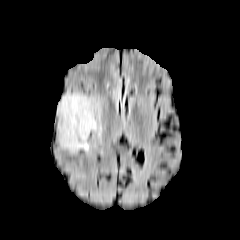
FLAIR MR.
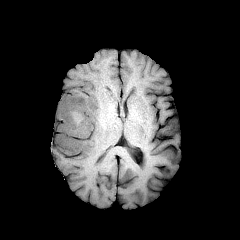
T1-weighted MR image.
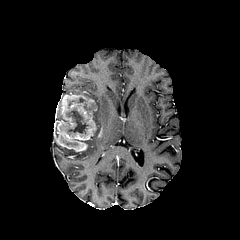
Post-contrast T1-weighted MR.
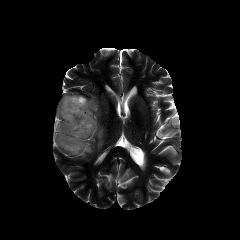
T2-weighted MR image of the same slice.
Brain, Axial slice
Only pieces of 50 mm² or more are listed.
{"peritumoral_edema": ["88, 97, 101, 136"], "necrotic_tumor_core": ["67, 110, 88, 133"], "enhancing_tumor": ["55, 93, 96, 151"]}